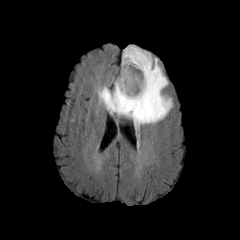
FLAIR MR.
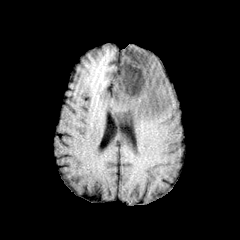
T1-weighted MRI.
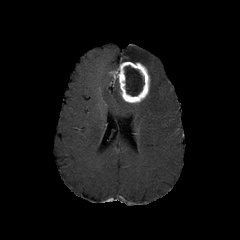
Post-contrast T1-weighted MR image.
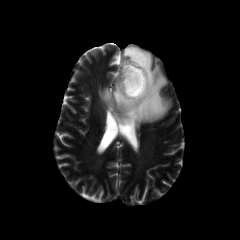
Same slice, T2-weighted MR.
Brain.
The enhancing tumor appears at bbox(112, 61, 150, 103). The peritumoral edema is located at bbox(98, 46, 172, 129). The necrotic tumor core appears at bbox(125, 66, 144, 95).